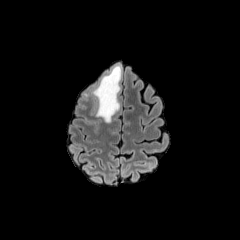
FLAIR MRI.
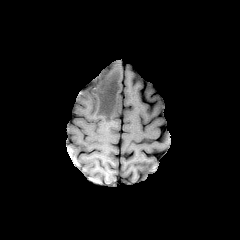
T1-weighted MR image.
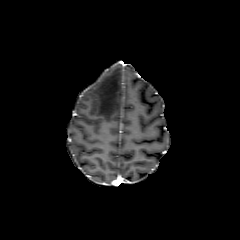
Same slice, post-contrast T1-weighted MR.
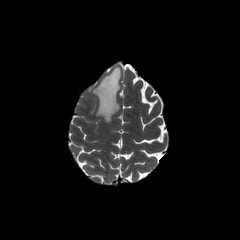
T2-weighted magnetic resonance.
Axial slice | Brain
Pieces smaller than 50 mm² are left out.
{"peritumoral_edema": ["92:64:121:122"]}